240x240; Head
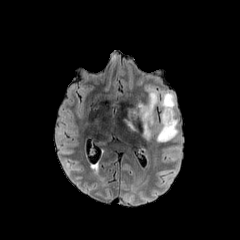
FLAIR MRI.
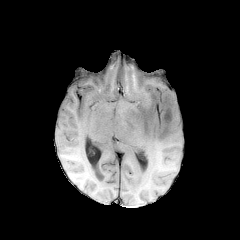
Same slice, T1-weighted MR.
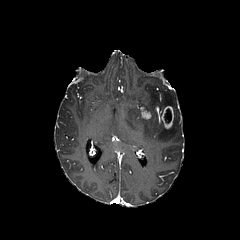
Post-contrast T1-weighted MR image of the same slice.
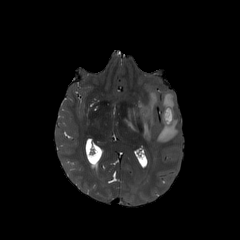
T2-weighted MRI.
{
  "enhancing_tumor": [
    "140, 107, 151, 119",
    "160, 106, 173, 129"
  ],
  "peritumoral_edema": [
    "123, 88, 178, 141"
  ],
  "necrotic_tumor_core": [
    "164, 108, 171, 123"
  ]
}